FLAIR magnetic resonance.
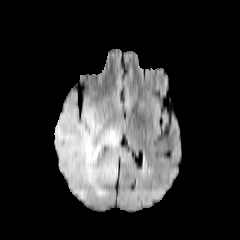
T1-weighted magnetic resonance.
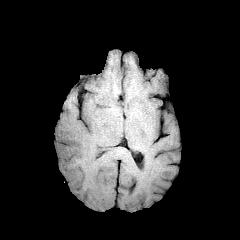
Post-contrast T1-weighted MRI.
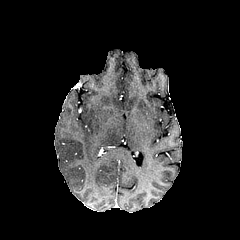
T2-weighted MR.
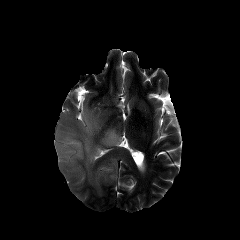
240x240
Annotated regions:
• peritumoral edema: [x1=54, y1=102, x2=123, y2=199]